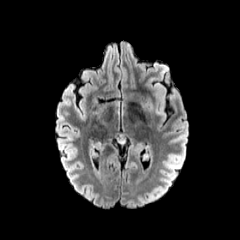
FLAIR magnetic resonance.
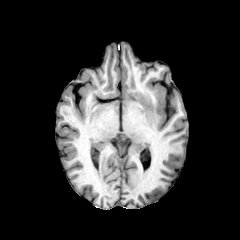
T1-weighted magnetic resonance of the same slice.
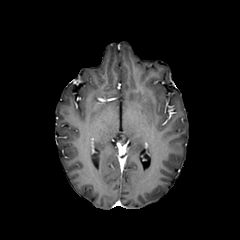
Post-contrast T1-weighted MR image of the same slice.
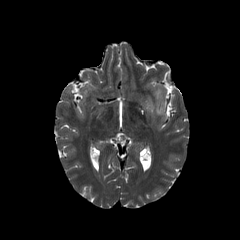
T2-weighted MRI.
Brain | 240x240 px
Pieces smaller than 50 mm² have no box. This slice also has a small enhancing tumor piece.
peritumoral edema: <box>156,106,165,117</box>